FLAIR magnetic resonance.
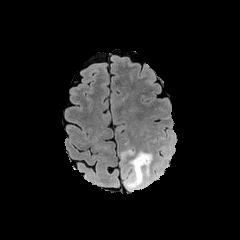
T1-weighted MR image.
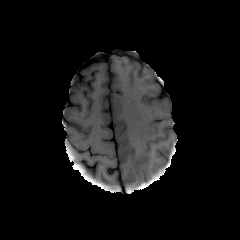
Post-contrast T1-weighted MR image.
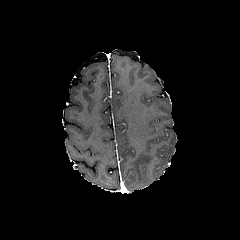
T2-weighted MRI.
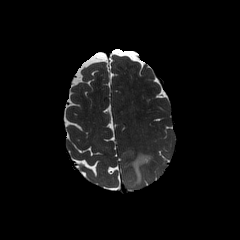
Axial view
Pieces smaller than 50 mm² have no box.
peritumoral edema: bounding box {"x1": 120, "y1": 142, "x2": 155, "y2": 191}